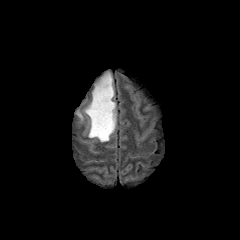
FLAIR MR.
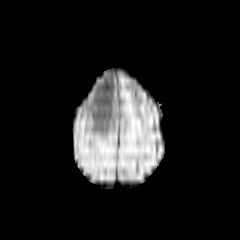
Same slice, T1-weighted magnetic resonance.
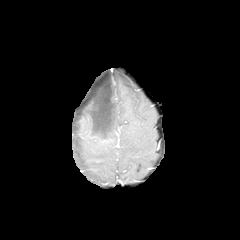
Post-contrast T1-weighted magnetic resonance of the same slice.
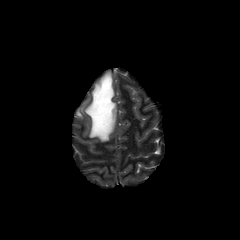
T2-weighted MR image.
Axial plane
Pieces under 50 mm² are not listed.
peritumoral edema at <bbox>83, 72, 116, 142</bbox>